Axial plane. Image size 240x240. Image covers 240 mm x 240 mm.
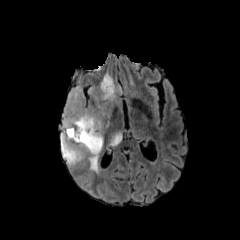
FLAIR MR image.
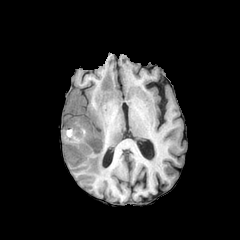
Same slice, T1-weighted MR image.
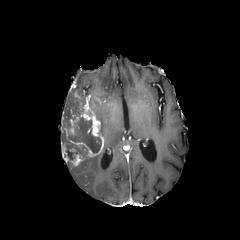
Same slice, post-contrast T1-weighted MR image.
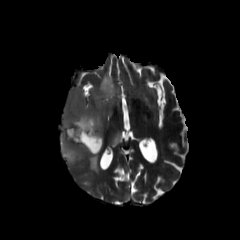
T2-weighted MR.
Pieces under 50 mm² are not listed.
<segmentation>
  <necrotic_tumor_core>(x1=64, y1=111, x2=75, y2=126), (x1=67, y1=117, x2=101, y2=152), (x1=62, y1=139, x2=80, y2=159)</necrotic_tumor_core>
  <peritumoral_edema>(x1=87, y1=148, x2=105, y2=173), (x1=108, y1=128, x2=122, y2=150), (x1=87, y1=73, x2=122, y2=137), (x1=63, y1=85, x2=84, y2=110)</peritumoral_edema>
  <enhancing_tumor>(x1=60, y1=93, x2=104, y2=166)</enhancing_tumor>
</segmentation>